FLAIR MR.
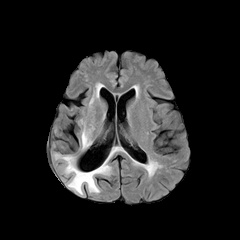
T1-weighted MR.
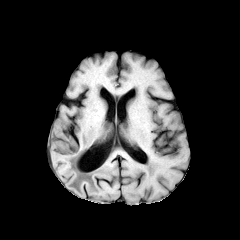
Post-contrast T1-weighted magnetic resonance.
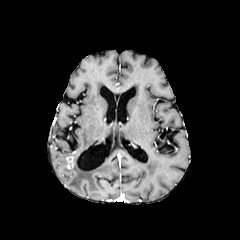
T2-weighted MR.
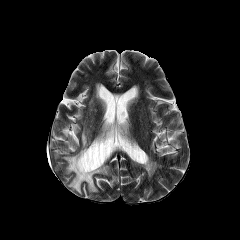
240x240 px, Axial plane
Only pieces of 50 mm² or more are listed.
Findings:
• enhancing tumor: x1=65, y1=156, x2=75, y2=169
• peritumoral edema: x1=54, y1=147, x2=120, y2=193; x1=81, y1=128, x2=92, y2=150; x1=89, y1=91, x2=98, y2=106